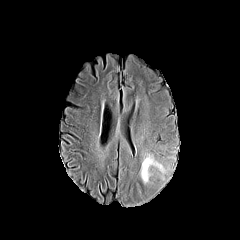
FLAIR MRI.
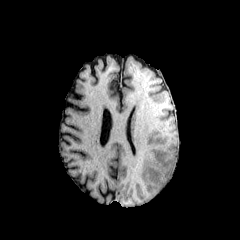
T1-weighted MR of the same slice.
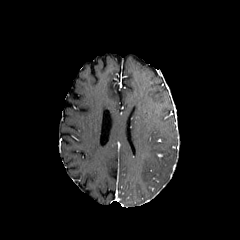
Same slice, post-contrast T1-weighted magnetic resonance.
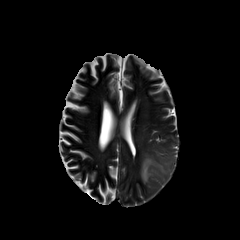
T2-weighted MRI of the same slice.
Brain
<segmentation>
  <peritumoral_edema>[140,155,167,183]</peritumoral_edema>
</segmentation>